Head. 240x240. Axial plane. Slice index 17.
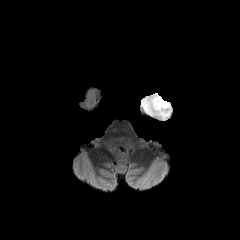
FLAIR MRI.
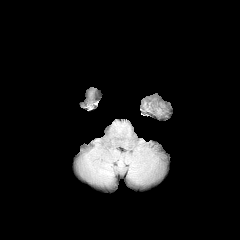
Same slice, T1-weighted MR image.
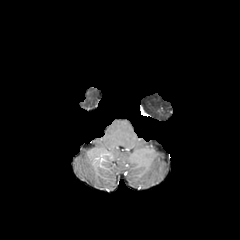
Post-contrast T1-weighted MR image.
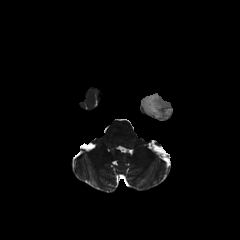
T2-weighted MRI of the same slice.
peritumoral edema — [141, 93, 172, 120]